Head | Slice index 82 | 240x240 | Axial view
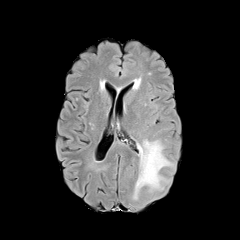
FLAIR MRI.
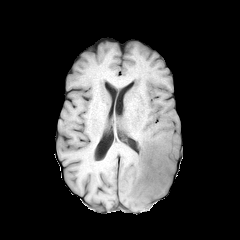
T1-weighted MR.
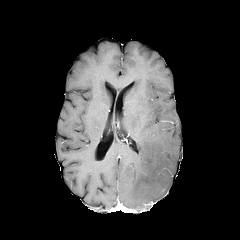
Post-contrast T1-weighted MR.
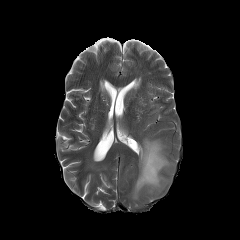
T2-weighted magnetic resonance of the same slice.
The peritumoral edema is bounded by l=132, t=139, r=173, b=199.